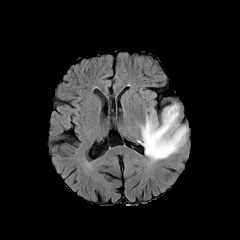
FLAIR magnetic resonance.
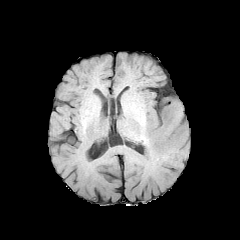
T1-weighted MR.
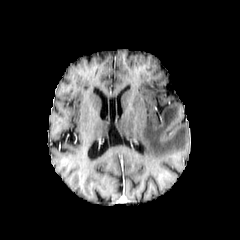
Post-contrast T1-weighted magnetic resonance.
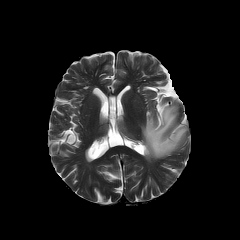
T2-weighted MRI.
Image size 240x240, Axial plane, Brain
peritumoral edema — x1=139 y1=103 x2=187 y2=160